Head, Axial slice
FLAIR MRI.
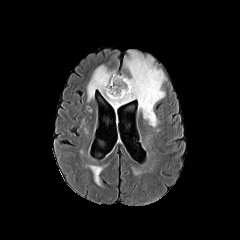
T1-weighted MRI.
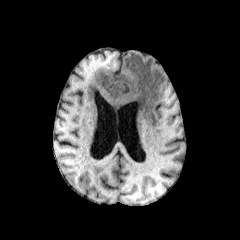
Post-contrast T1-weighted MR image.
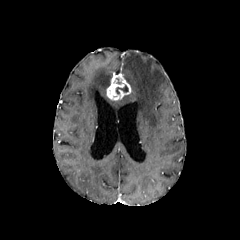
T2-weighted magnetic resonance.
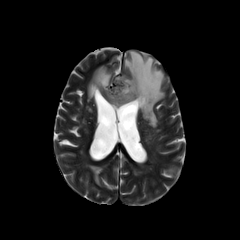
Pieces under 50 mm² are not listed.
The largest necrotic tumor core region is bounded by rect(116, 85, 128, 94). The enhancing tumor is bounded by rect(106, 73, 131, 100). 2 peritumoral edema regions appear at rect(87, 51, 165, 127); rect(90, 165, 102, 185).